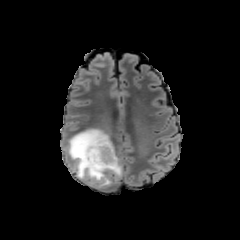
FLAIR MR.
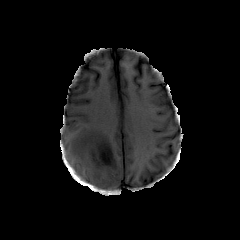
T1-weighted magnetic resonance of the same slice.
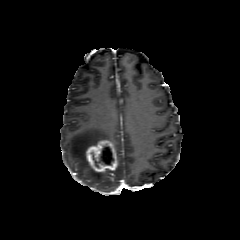
Same slice, post-contrast T1-weighted magnetic resonance.
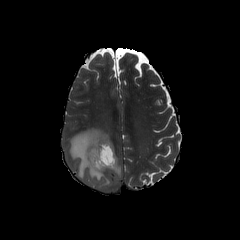
T2-weighted magnetic resonance.
Axial view; Head
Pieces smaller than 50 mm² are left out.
2 peritumoral edema regions are bounded by [113,156,122,181], [67,128,112,188]. The enhancing tumor is located at [86,140,117,171]. The largest necrotic tumor core region lies within [93,146,113,167].